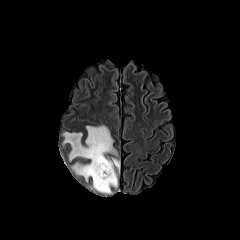
FLAIR MR.
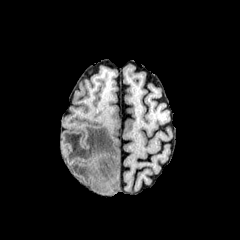
Same slice, T1-weighted MR image.
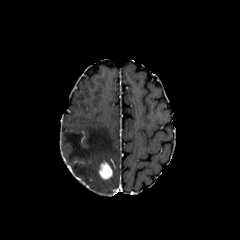
Post-contrast T1-weighted MR image.
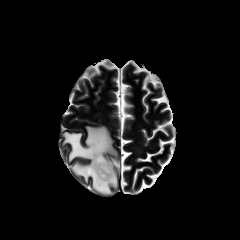
T2-weighted MR image.
Axial slice. Head. 240x240 px.
<segmentation>
  <peritumoral_edema>left=63, top=125, right=119, bottom=194</peritumoral_edema>
  <enhancing_tumor>left=98, top=161, right=112, bottom=179</enhancing_tumor>
</segmentation>